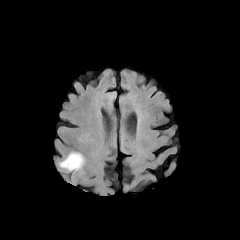
FLAIR MRI.
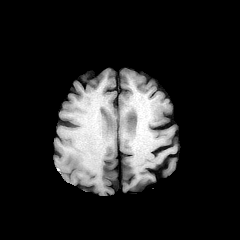
T1-weighted MRI.
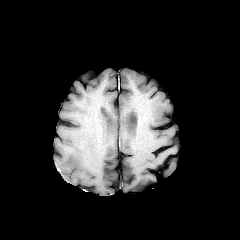
Post-contrast T1-weighted MR image.
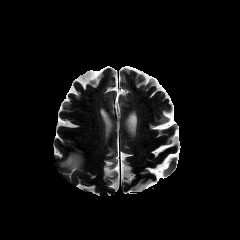
Same slice, T2-weighted magnetic resonance.
Axial view
peritumoral edema: (left=60, top=153, right=83, bottom=170)